FLAIR magnetic resonance.
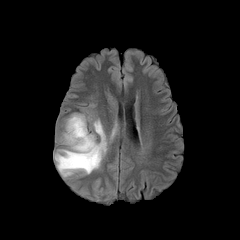
T1-weighted magnetic resonance.
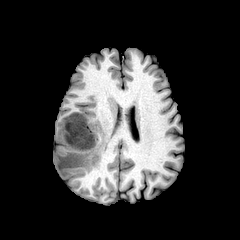
Post-contrast T1-weighted MR image.
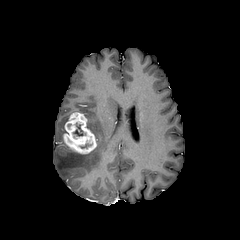
T2-weighted MRI.
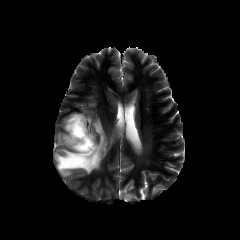
Axial plane; Brain
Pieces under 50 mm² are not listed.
Segmented structures:
• enhancing tumor: [x1=63, y1=113, x2=96, y2=154]
• peritumoral edema: [x1=54, y1=119, x2=106, y2=176]
• necrotic tumor core: [x1=74, y1=125, x2=83, y2=136]